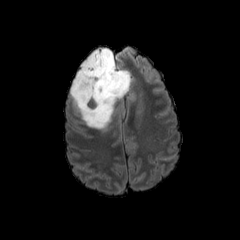
FLAIR MR image.
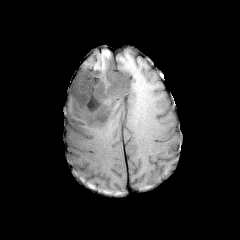
T1-weighted MR image.
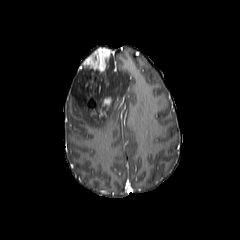
Same slice, post-contrast T1-weighted MR.
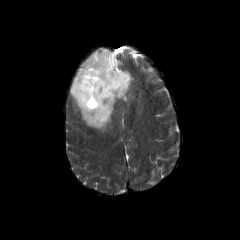
Same slice, T2-weighted MRI.
Image size 240x240
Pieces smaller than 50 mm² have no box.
{"peritumoral_edema": ["[x1=70, y1=53, x2=131, y2=131]"], "necrotic_tumor_core": ["[x1=87, y1=98, x2=96, y2=108]"], "enhancing_tumor": ["[x1=83, y1=48, x2=111, y2=73]", "[x1=91, y1=97, x2=111, y2=118]"]}